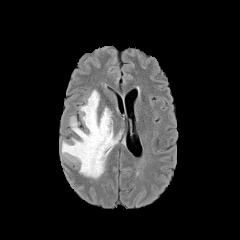
FLAIR MR.
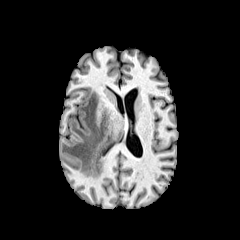
Same slice, T1-weighted MR.
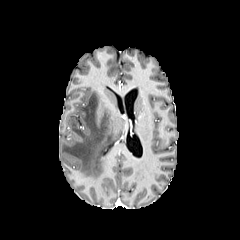
Post-contrast T1-weighted magnetic resonance.
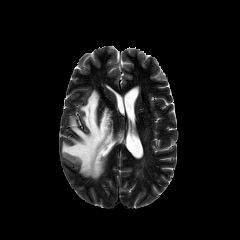
Same slice, T2-weighted magnetic resonance.
Head, 240x240
peritumoral edema: bounding box 62,90,120,178